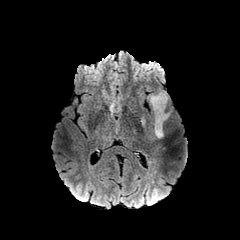
FLAIR MR image.
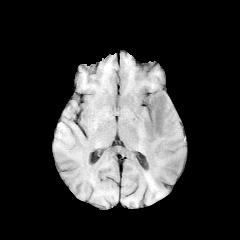
T1-weighted magnetic resonance.
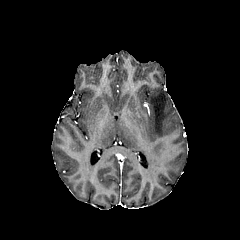
Post-contrast T1-weighted MR image.
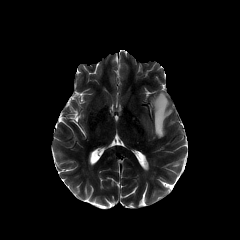
T2-weighted magnetic resonance.
Axial plane.
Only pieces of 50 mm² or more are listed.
The largest peritumoral edema region appears at <box>150,92,170,138</box>.